Head, Axial slice, Image width 240 mm
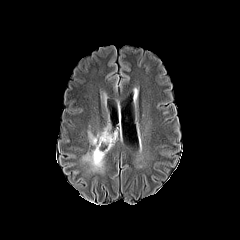
FLAIR MR.
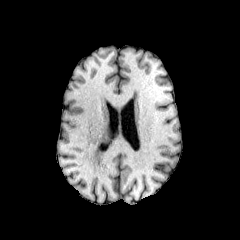
T1-weighted MRI of the same slice.
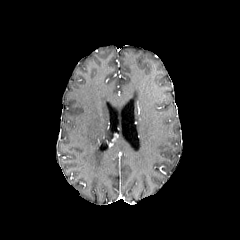
Post-contrast T1-weighted MRI.
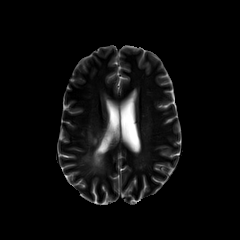
T2-weighted MR image.
<segmentation>
  <peritumoral_edema>82,127,112,171</peritumoral_edema>
</segmentation>